Slice 75/155
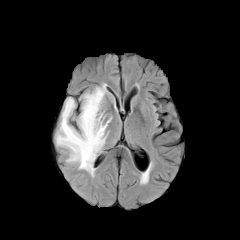
FLAIR MR.
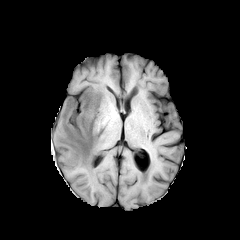
T1-weighted magnetic resonance.
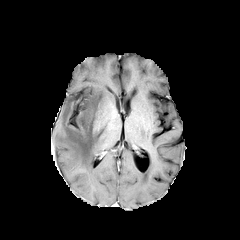
Same slice, post-contrast T1-weighted MR image.
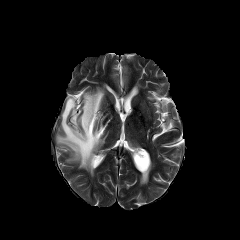
T2-weighted MR.
Annotated regions:
* peritumoral edema: x1=55, y1=84, x2=111, y2=176